FLAIR MR image.
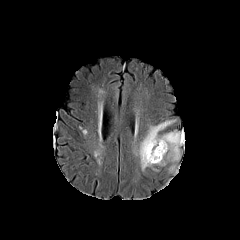
T1-weighted MR image.
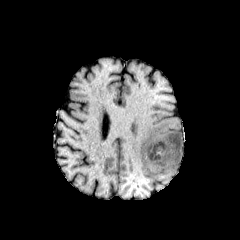
Post-contrast T1-weighted magnetic resonance.
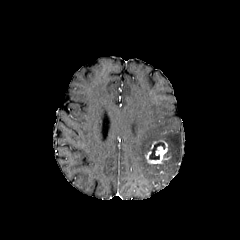
T2-weighted magnetic resonance.
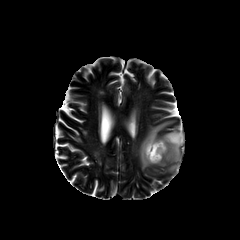
240x240 px; Head; Axial view
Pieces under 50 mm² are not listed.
The 2 largest peritumoral edema regions are bounded by bbox(135, 120, 184, 170); bbox(169, 165, 176, 172). The necrotic tumor core is at bbox(149, 142, 164, 159). The enhancing tumor is bounded by bbox(145, 140, 167, 163).